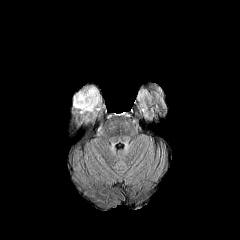
FLAIR MR.
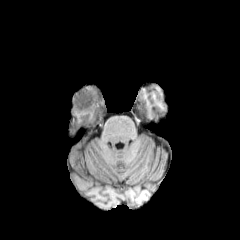
T1-weighted MR.
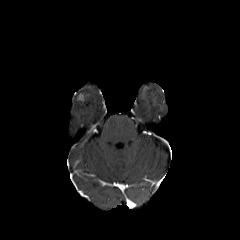
Post-contrast T1-weighted MR.
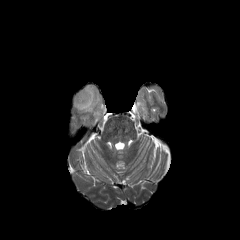
T2-weighted MR.
Brain. Image size 240x240.
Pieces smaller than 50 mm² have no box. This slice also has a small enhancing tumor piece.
peritumoral edema: (x1=72, y1=84, x2=104, y2=113)